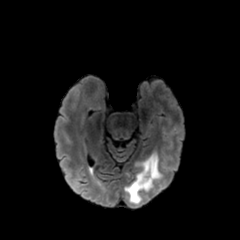
FLAIR MRI.
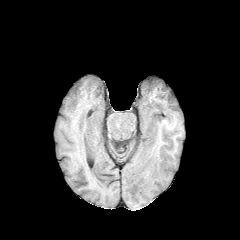
T1-weighted magnetic resonance of the same slice.
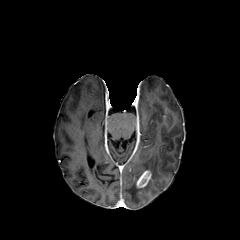
Post-contrast T1-weighted magnetic resonance.
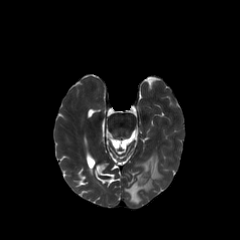
Same slice, T2-weighted magnetic resonance.
Head | 240x240 px
Segmented structures:
• enhancing tumor: 136,170,151,188
• peritumoral edema: 125,153,161,203